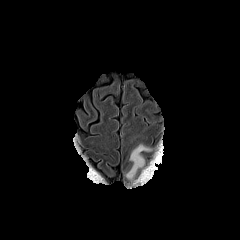
FLAIR MR.
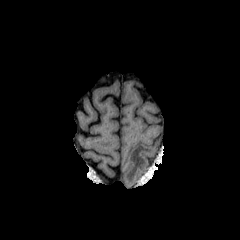
T1-weighted MRI of the same slice.
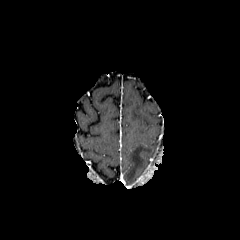
Same slice, post-contrast T1-weighted MRI.
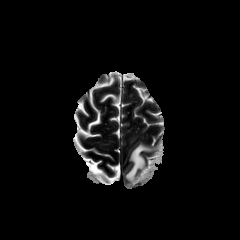
Same slice, T2-weighted magnetic resonance.
Axial slice
<segmentation>
  <peritumoral_edema>left=126, top=144, right=153, bottom=180</peritumoral_edema>
</segmentation>